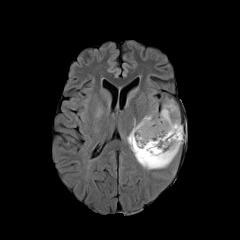
FLAIR MR image.
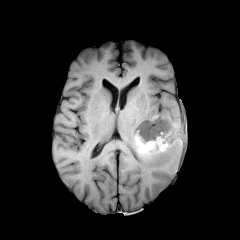
Same slice, T1-weighted MR image.
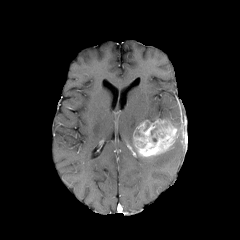
Post-contrast T1-weighted MR.
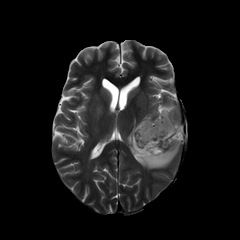
T2-weighted MRI.
Axial slice | Image size 240x240
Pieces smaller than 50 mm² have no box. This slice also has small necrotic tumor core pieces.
2 peritumoral edema regions are bounded by 127:99:183:169, 94:105:103:118. The enhancing tumor is at 134:119:177:156.